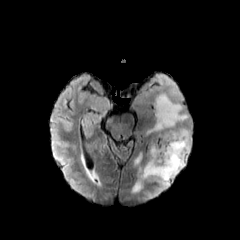
FLAIR magnetic resonance.
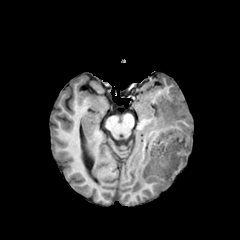
T1-weighted MR image of the same slice.
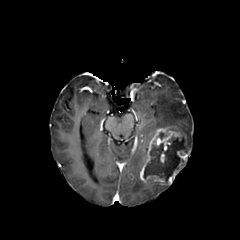
Post-contrast T1-weighted MR image.
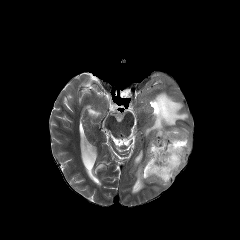
T2-weighted magnetic resonance.
240x240 | Head | Axial plane
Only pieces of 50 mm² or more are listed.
enhancing_tumor:
  - (x1=139, y1=127, x2=190, y2=185)
necrotic_tumor_core:
  - (x1=143, y1=135, x2=184, y2=182)
peritumoral_edema:
  - (x1=146, y1=93, x2=191, y2=149)
  - (x1=156, y1=185, x2=169, y2=191)
  - (x1=131, y1=151, x2=144, y2=193)